Image width 240 mm, 1.00 mm slice spacing; Axial view
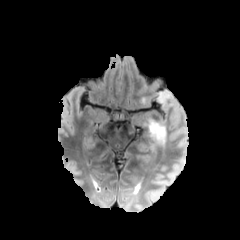
FLAIR MR image.
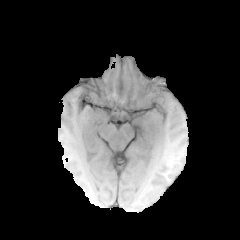
T1-weighted MR image.
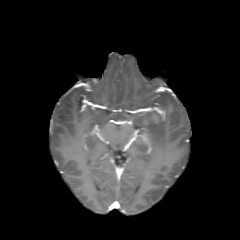
Post-contrast T1-weighted MR.
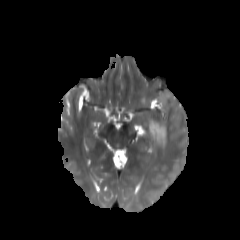
T2-weighted MR.
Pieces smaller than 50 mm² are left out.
peritumoral edema = x1=147 y1=119 x2=166 y2=148, x1=157 y1=92 x2=173 y2=108